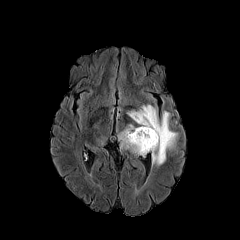
FLAIR MR.
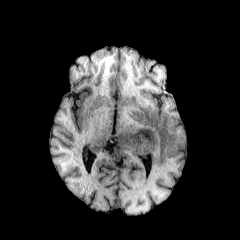
T1-weighted MR.
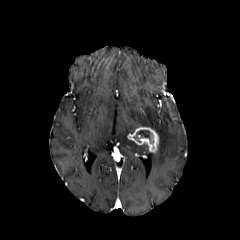
Post-contrast T1-weighted MR image of the same slice.
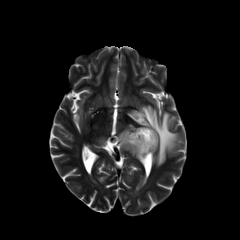
T2-weighted MRI of the same slice.
Brain
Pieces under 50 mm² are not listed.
The enhancing tumor is located at [x1=127, y1=126, x2=159, y2=152]. The necrotic tumor core is at [x1=134, y1=130, x2=153, y2=143]. The 2 largest peritumoral edema regions appear at [x1=118, y1=125, x2=148, y2=155], [x1=127, y1=105, x2=178, y2=166].